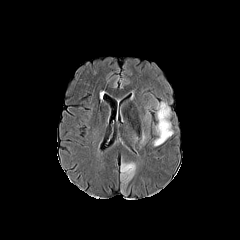
FLAIR MR.
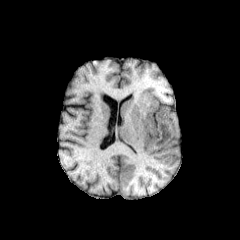
T1-weighted MRI of the same slice.
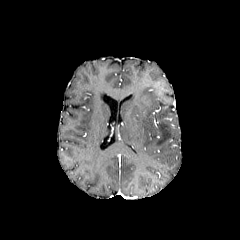
Same slice, post-contrast T1-weighted MR.
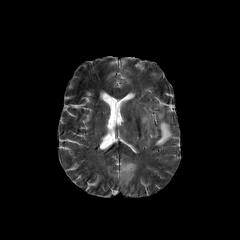
Same slice, T2-weighted MRI.
240x240
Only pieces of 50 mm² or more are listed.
peritumoral edema = x1=121, y1=162, x2=135, y2=182; x1=153, y1=102, x2=173, y2=145